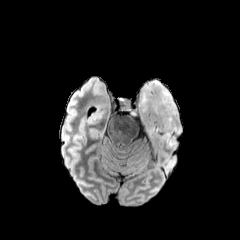
FLAIR MR.
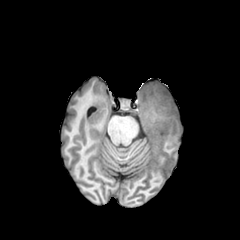
T1-weighted MR of the same slice.
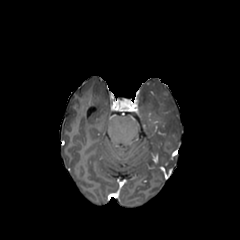
Post-contrast T1-weighted MRI.
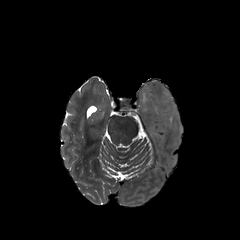
T2-weighted magnetic resonance.
Brain
peritumoral edema: bounding box rect(130, 80, 180, 140)